240x240 px | Axial slice
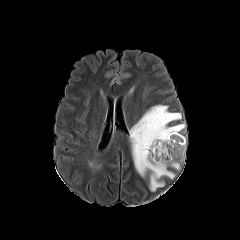
FLAIR MR image.
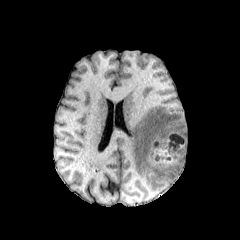
T1-weighted MRI of the same slice.
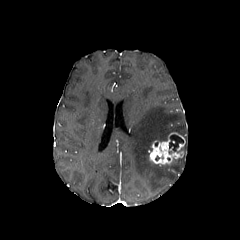
Same slice, post-contrast T1-weighted MR.
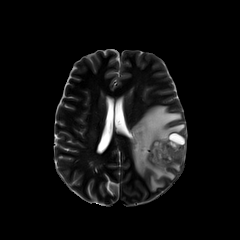
Same slice, T2-weighted MR.
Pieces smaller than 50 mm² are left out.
The largest enhancing tumor region appears at <bbox>149, 132, 185, 165</bbox>. The largest necrotic tumor core region is at <bbox>169, 134, 183, 151</bbox>. The largest peritumoral edema region is at <bbox>129, 105, 185, 191</bbox>.